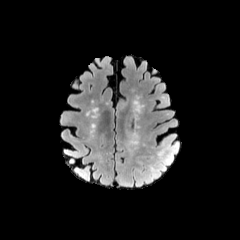
FLAIR MR.
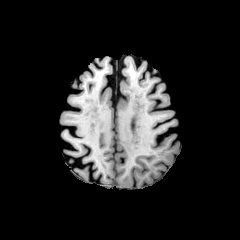
Same slice, T1-weighted magnetic resonance.
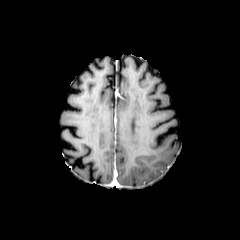
Post-contrast T1-weighted MR image.
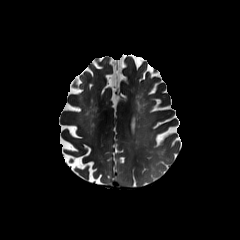
Same slice, T2-weighted MR.
peritumoral_edema:
  - rect(119, 179, 143, 188)